FLAIR magnetic resonance.
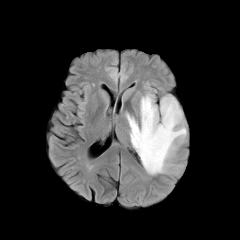
T1-weighted MR.
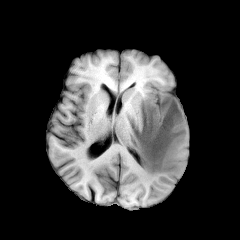
Post-contrast T1-weighted MR image.
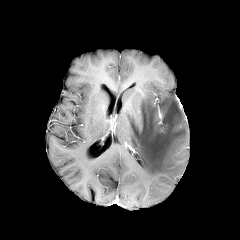
T2-weighted MR.
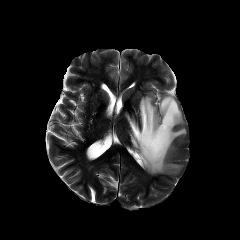
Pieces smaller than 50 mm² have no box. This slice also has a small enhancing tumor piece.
Segmented structures:
- peritumoral edema: 126, 94, 186, 174